FLAIR magnetic resonance.
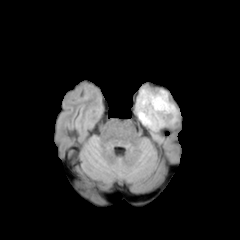
T1-weighted MR image.
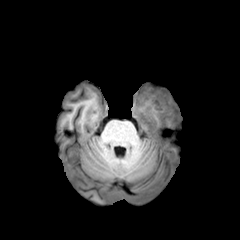
Post-contrast T1-weighted MR.
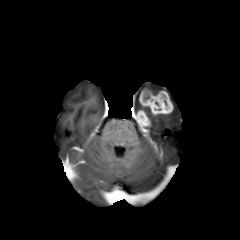
T2-weighted MR image.
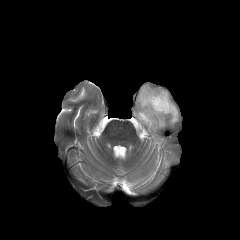
Image size 240x240; Brain
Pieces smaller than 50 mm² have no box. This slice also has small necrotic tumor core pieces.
peritumoral edema = (136, 94, 178, 131), (140, 86, 158, 94)
enhancing tumor = (136, 110, 150, 128), (139, 88, 173, 114)